240x240, Axial plane
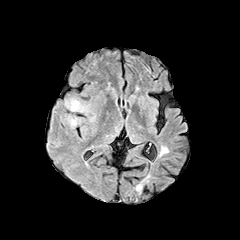
FLAIR MR.
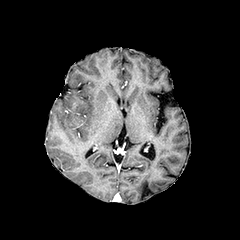
T1-weighted MRI of the same slice.
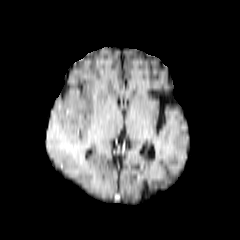
Post-contrast T1-weighted MR.
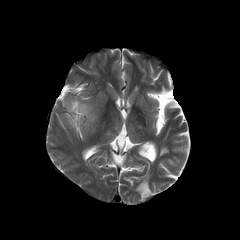
T2-weighted MR image of the same slice.
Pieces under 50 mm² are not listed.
peritumoral edema — <box>65,115,81,128</box>, <box>65,97,90,115</box>